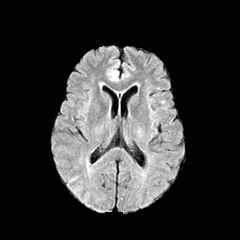
FLAIR MR.
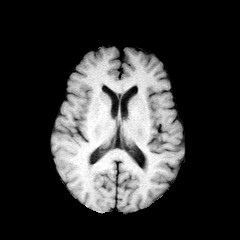
Same slice, T1-weighted magnetic resonance.
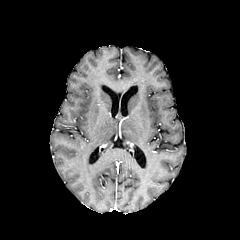
Same slice, post-contrast T1-weighted magnetic resonance.
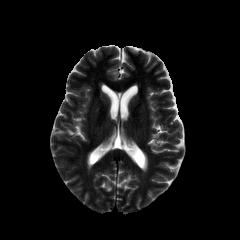
T2-weighted magnetic resonance.
Axial plane
{
  "peritumoral_edema": [
    "box(112, 71, 119, 81)"
  ]
}